FLAIR MR.
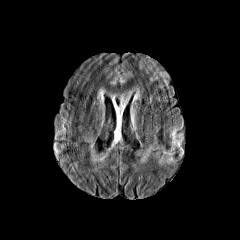
T1-weighted MRI.
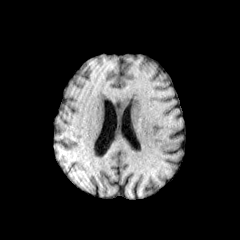
Post-contrast T1-weighted magnetic resonance.
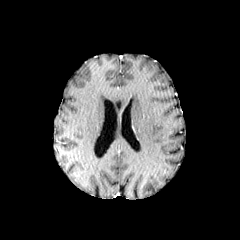
T2-weighted MR.
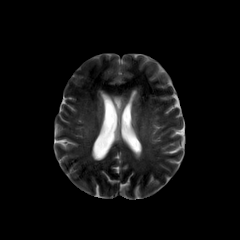
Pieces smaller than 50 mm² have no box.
peritumoral_edema:
  - [130, 103, 134, 125]
  - [108, 90, 132, 138]
  - [133, 87, 140, 101]
  - [99, 89, 104, 101]